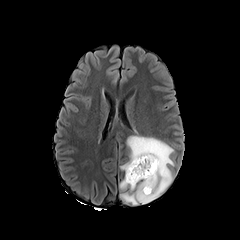
FLAIR MR.
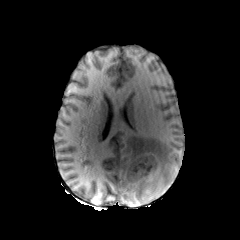
T1-weighted MR.
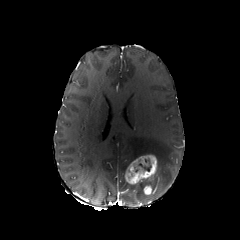
Post-contrast T1-weighted MR image.
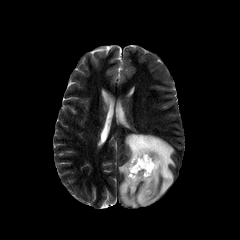
T2-weighted MR of the same slice.
Axial plane.
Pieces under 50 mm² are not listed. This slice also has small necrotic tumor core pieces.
{
  "peritumoral_edema": [
    "[119, 134, 174, 204]"
  ],
  "enhancing_tumor": [
    "[125, 154, 157, 184]",
    "[143, 185, 155, 195]"
  ]
}